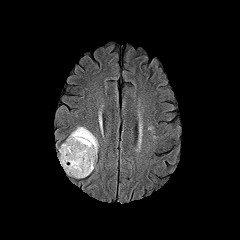
FLAIR MR.
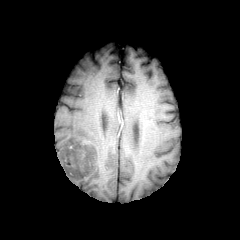
T1-weighted MR.
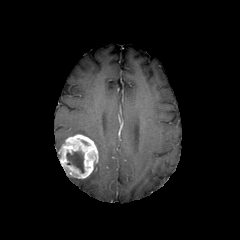
Post-contrast T1-weighted MR image.
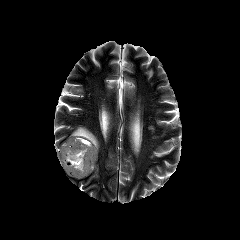
Same slice, T2-weighted MRI.
Axial view; Image size 240x240
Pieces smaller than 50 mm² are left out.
- peritumoral edema: (69,126,98,148)
- necrotic tumor core: (67,152,83,172)
- enhancing tumor: (59,134,98,178)